Axial view; Head
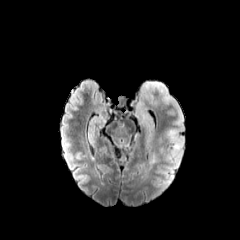
FLAIR MR.
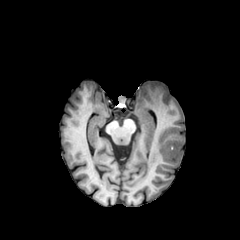
T1-weighted MR.
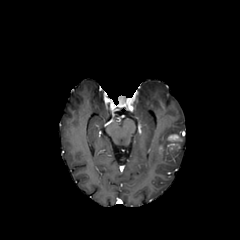
Same slice, post-contrast T1-weighted MRI.
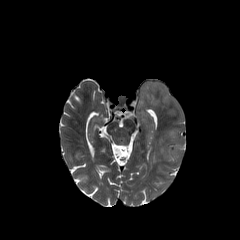
T2-weighted MR.
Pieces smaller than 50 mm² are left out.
The largest peritumoral edema region lies within bbox(135, 80, 184, 147). The largest enhancing tumor region is at bbox(167, 134, 182, 151).